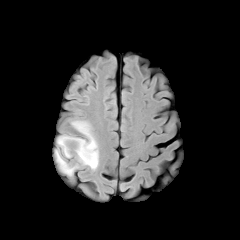
FLAIR MR image.
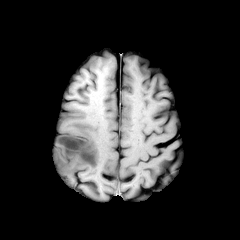
T1-weighted MR of the same slice.
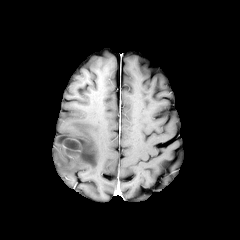
Same slice, post-contrast T1-weighted MRI.
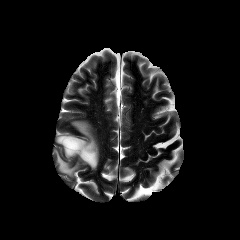
T2-weighted magnetic resonance of the same slice.
Axial view, 240x240, Brain
The peritumoral edema is bounded by x1=53, y1=121, x2=98, y2=176. 2 necrotic tumor core regions are located at x1=64, y1=140, x2=81, y2=150; x1=65, y1=149, x2=79, y2=156. The enhancing tumor is located at x1=63, y1=139, x2=82, y2=157.